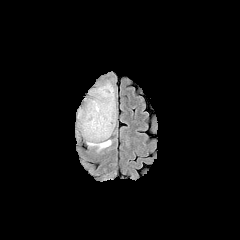
FLAIR MR image.
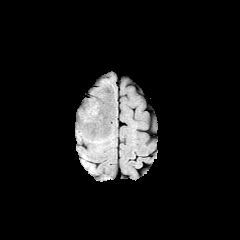
T1-weighted MR image of the same slice.
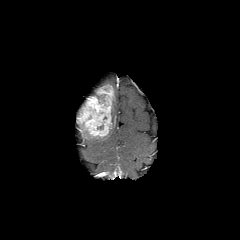
Post-contrast T1-weighted MR.
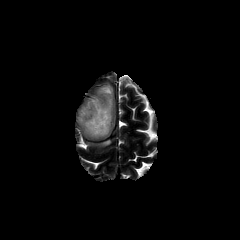
T2-weighted MRI of the same slice.
Brain; 240x240
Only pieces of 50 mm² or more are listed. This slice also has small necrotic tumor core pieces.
enhancing tumor = region(77, 84, 114, 139)
peritumoral edema = region(87, 89, 116, 150)